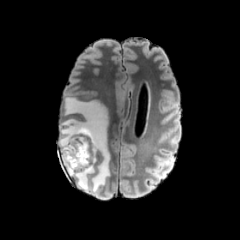
FLAIR MR image.
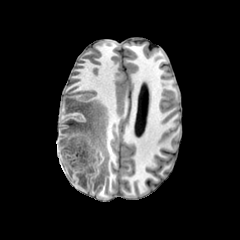
T1-weighted MR image of the same slice.
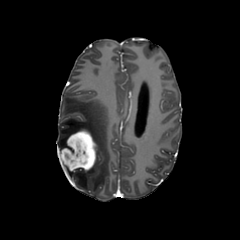
Post-contrast T1-weighted MRI.
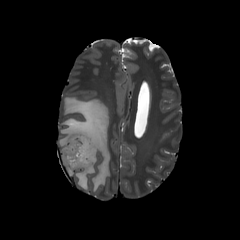
T2-weighted MRI of the same slice.
Head | Image size 240x240 | Axial slice
peritumoral_edema:
  - (left=58, top=96, right=110, bottom=194)
enhancing_tumor:
  - (left=60, top=129, right=96, bottom=171)